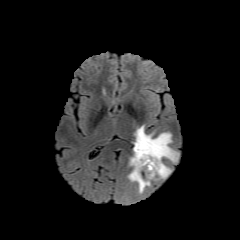
FLAIR MRI.
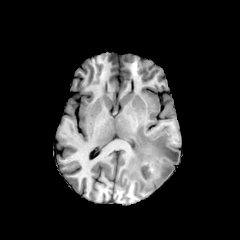
T1-weighted MR of the same slice.
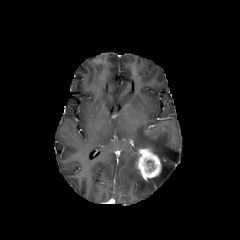
Post-contrast T1-weighted MR image of the same slice.
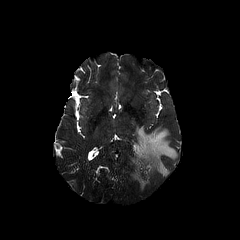
T2-weighted magnetic resonance.
The peritumoral edema appears at (x1=128, y1=125, x2=178, y2=192). The necrotic tumor core is at (x1=143, y1=160, x2=155, y2=173). The enhancing tumor is bounded by (x1=135, y1=148, x2=161, y2=181).